Slice 100/155
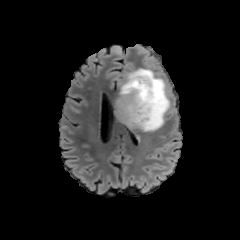
FLAIR MRI.
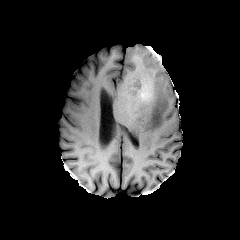
T1-weighted magnetic resonance.
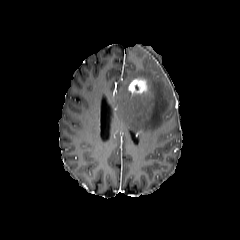
Same slice, post-contrast T1-weighted MRI.
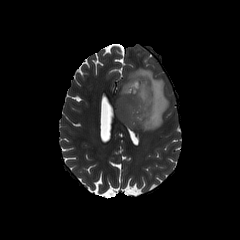
Same slice, T2-weighted MRI.
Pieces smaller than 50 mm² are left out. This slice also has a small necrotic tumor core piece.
enhancing tumor at left=128, top=77, right=148, bottom=95
peritumoral edema at left=115, top=68, right=169, bottom=131